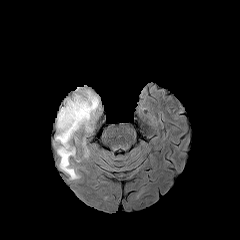
FLAIR magnetic resonance.
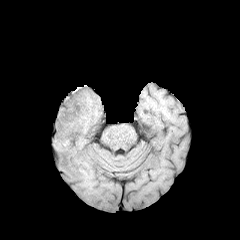
Same slice, T1-weighted MRI.
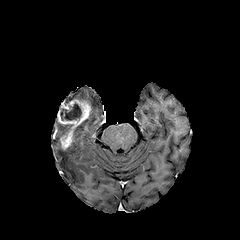
Post-contrast T1-weighted MR of the same slice.
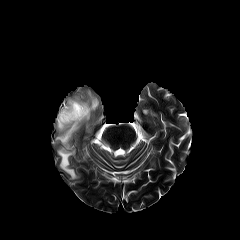
T2-weighted MR image.
240x240 | Axial view | Brain
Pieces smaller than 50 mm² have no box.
The 3 largest peritumoral edema regions appear at <bbox>57, 145, 79, 179</bbox>, <bbox>55, 121, 72, 142</bbox>, <bbox>65, 90, 99, 138</bbox>. The enhancing tumor lies within <bbox>57, 99, 91, 149</bbox>. The necrotic tumor core appears at <bbox>60, 104, 81, 120</bbox>.